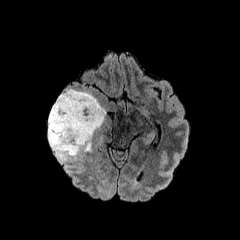
FLAIR magnetic resonance.
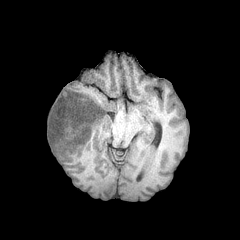
T1-weighted magnetic resonance.
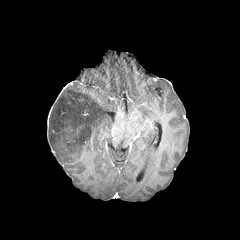
Post-contrast T1-weighted MR image of the same slice.
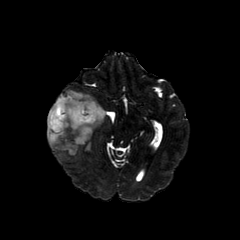
T2-weighted MRI.
Image size 240x240 | Head
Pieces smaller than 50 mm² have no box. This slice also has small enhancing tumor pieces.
{
  "peritumoral_edema": [
    "region(47, 89, 105, 161)"
  ]
}